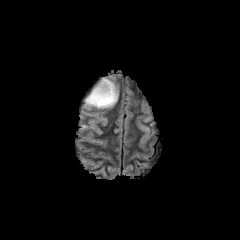
FLAIR MR image.
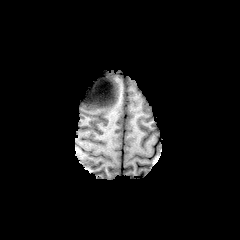
T1-weighted MR.
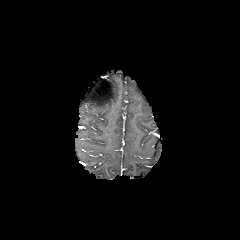
Post-contrast T1-weighted MR image.
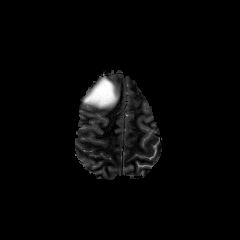
Same slice, T2-weighted MRI.
Brain
Annotated regions:
* necrotic tumor core: 98 80 112 101
* peritumoral edema: 84 76 118 109